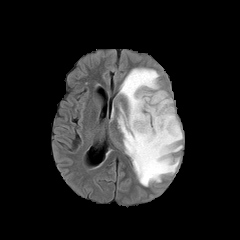
FLAIR magnetic resonance.
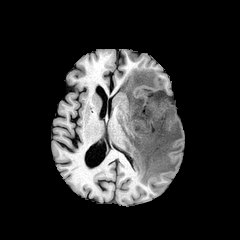
T1-weighted MR image.
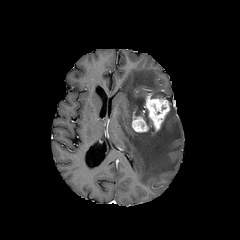
Same slice, post-contrast T1-weighted magnetic resonance.
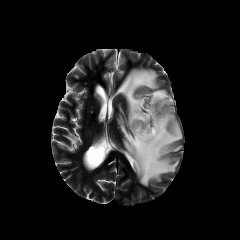
Same slice, T2-weighted magnetic resonance.
Axial slice
peritumoral edema: bounding box (118,68,182,186)
enhancing tumor: bounding box (132,113,148,132), (144,93,169,128)